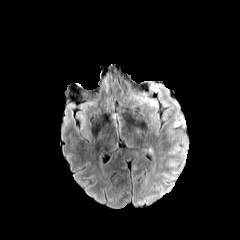
FLAIR magnetic resonance.
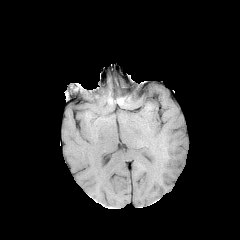
T1-weighted MRI.
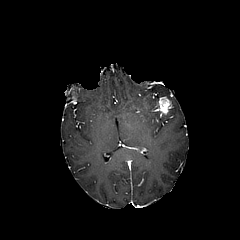
Post-contrast T1-weighted MR image of the same slice.
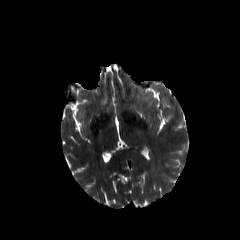
T2-weighted MR.
Brain; 240x240; Axial plane
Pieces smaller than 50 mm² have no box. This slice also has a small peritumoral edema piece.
enhancing tumor: <bbox>155, 97, 171, 113</bbox>